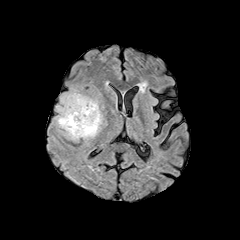
FLAIR magnetic resonance.
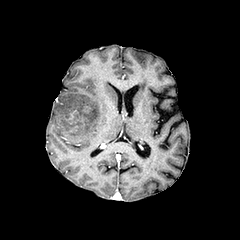
T1-weighted MRI.
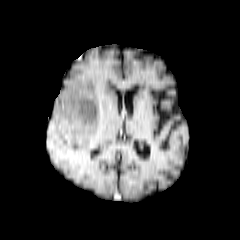
Same slice, post-contrast T1-weighted MR.
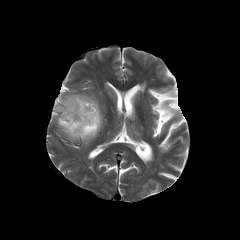
T2-weighted MRI.
Brain
{
  "peritumoral_edema": [
    "<box>56,91,103,142</box>"
  ],
  "necrotic_tumor_core": [
    "<box>60,118,83,135</box>"
  ]
}